Head.
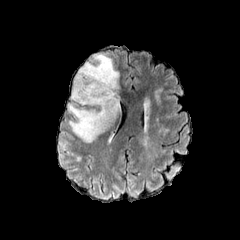
FLAIR magnetic resonance.
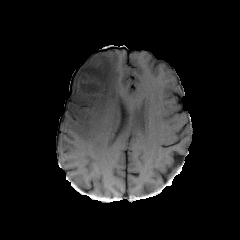
T1-weighted magnetic resonance.
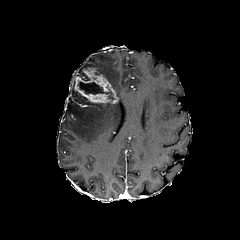
Same slice, post-contrast T1-weighted MR image.
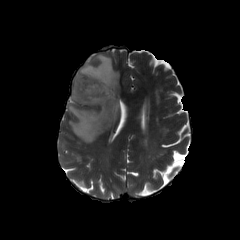
Same slice, T2-weighted MR.
necrotic tumor core at (78,81,113,99)
peritumoral edema at (67,53,120,142)
enhancing tumor at (74,67,118,104)